Slice 53 of 155, Head
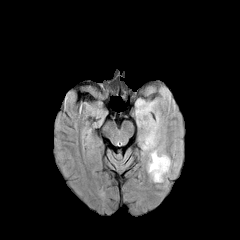
FLAIR MRI.
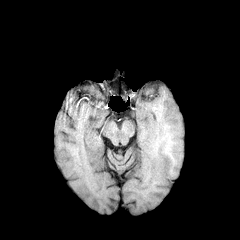
T1-weighted MRI of the same slice.
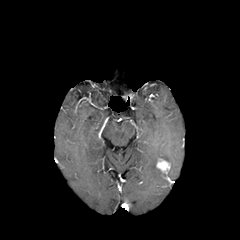
Post-contrast T1-weighted magnetic resonance.
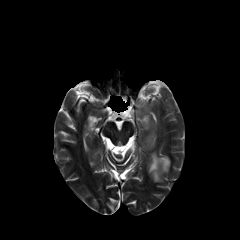
T2-weighted magnetic resonance.
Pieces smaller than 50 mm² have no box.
peritumoral_edema:
  - l=148, t=147, r=170, b=182
  - l=135, t=99, r=156, b=150
  - l=157, t=89, r=170, b=94
enhancing_tumor:
  - l=156, t=159, r=170, b=172